FLAIR MRI.
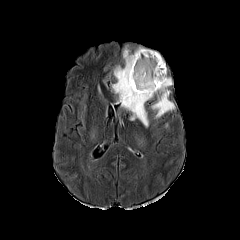
T1-weighted magnetic resonance.
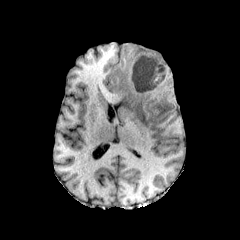
Post-contrast T1-weighted MR image.
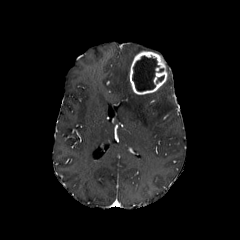
T2-weighted MR image.
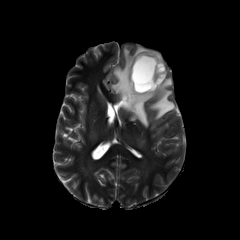
Head | Axial plane
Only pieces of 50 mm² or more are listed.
peritumoral edema — l=111, t=45, r=175, b=127
necrotic tumor core — l=132, t=56, r=159, b=91
enhancing tumor — l=129, t=51, r=167, b=94